Axial view; Slice 39 of 155
FLAIR MR image.
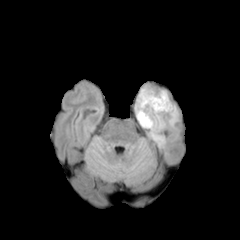
T1-weighted magnetic resonance.
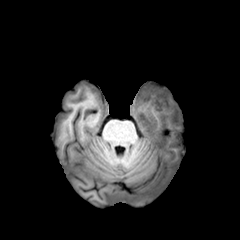
Post-contrast T1-weighted MRI.
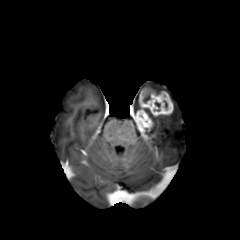
T2-weighted MRI.
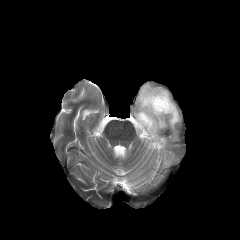
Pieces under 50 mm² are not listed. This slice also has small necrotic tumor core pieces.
<segmentation>
  <peritumoral_edema>box(135, 95, 140, 112); box(141, 85, 165, 93); box(143, 104, 179, 148)</peritumoral_edema>
  <enhancing_tumor>box(135, 87, 173, 131)</enhancing_tumor>
</segmentation>